FLAIR MRI.
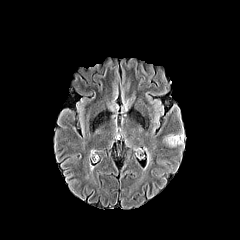
T1-weighted MRI.
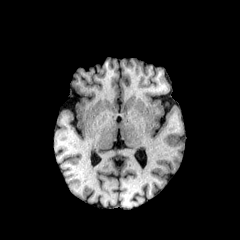
Post-contrast T1-weighted MR.
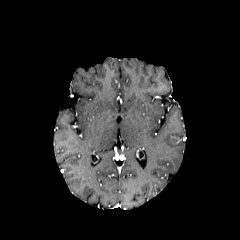
T2-weighted MR image.
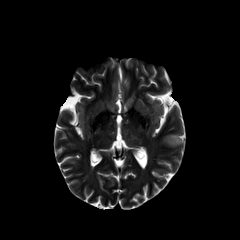
Axial slice.
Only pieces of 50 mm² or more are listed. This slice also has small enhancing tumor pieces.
The peritumoral edema is at 164, 130, 184, 146.